Slice 106 of 155
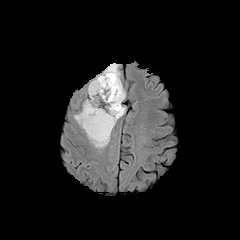
FLAIR MRI.
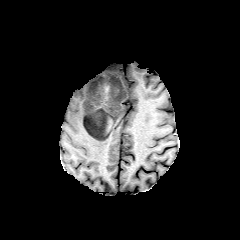
T1-weighted MRI.
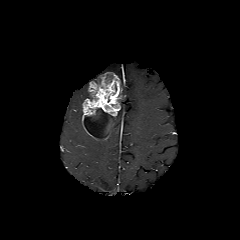
Post-contrast T1-weighted MR.
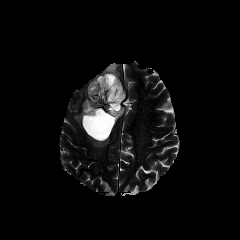
Same slice, T2-weighted MRI.
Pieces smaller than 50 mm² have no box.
necrotic tumor core: region(84, 108, 114, 139)
enhancing tumor: region(82, 72, 125, 140)
peritumoral edema: region(86, 133, 110, 148); region(112, 100, 125, 131); region(74, 111, 83, 129); region(102, 63, 120, 77)